FLAIR MR.
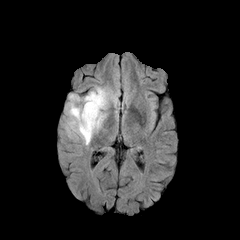
T1-weighted MRI.
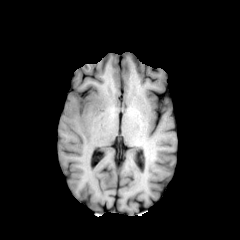
Post-contrast T1-weighted magnetic resonance.
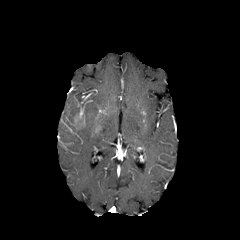
T2-weighted MRI.
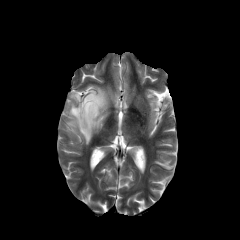
Brain; Axial slice
peritumoral edema: (left=64, top=86, right=117, bottom=145)